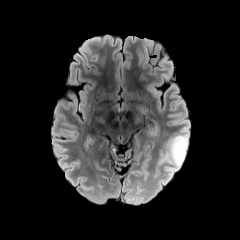
FLAIR magnetic resonance.
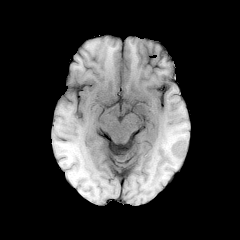
Same slice, T1-weighted MRI.
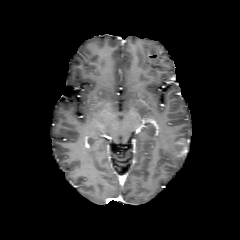
Post-contrast T1-weighted MRI.
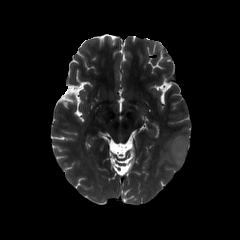
Same slice, T2-weighted MR image.
Axial view.
enhancing_tumor:
  - [171, 137, 187, 157]
peritumoral_edema:
  - [158, 128, 189, 183]
necrotic_tumor_core:
  - [174, 145, 183, 153]